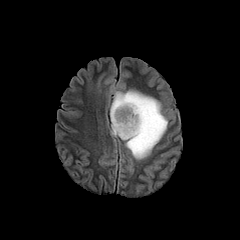
FLAIR MR.
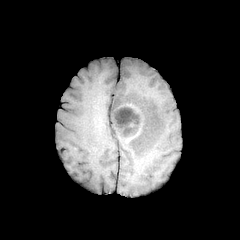
Same slice, T1-weighted MR image.
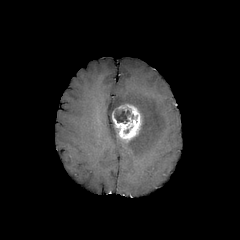
Post-contrast T1-weighted MRI.
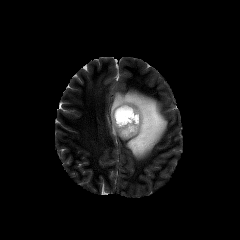
T2-weighted MR.
Axial slice; Head
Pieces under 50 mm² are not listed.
The enhancing tumor is located at box=[112, 104, 141, 140]. The largest necrotic tumor core region lies within box=[115, 110, 130, 122]. The peritumoral edema is at box=[110, 90, 167, 159].